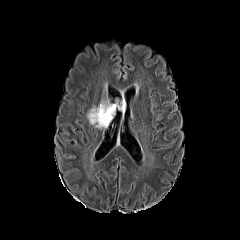
FLAIR MRI.
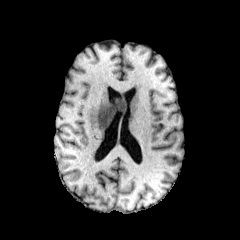
Same slice, T1-weighted MR image.
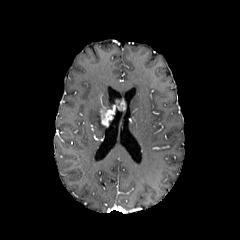
Same slice, post-contrast T1-weighted MRI.
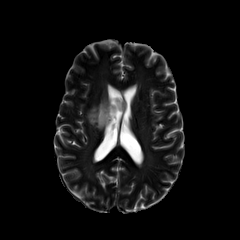
T2-weighted magnetic resonance.
Image size 240x240 | Axial view
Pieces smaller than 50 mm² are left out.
Segmented structures:
• peritumoral edema: [87, 98, 112, 128]
• enhancing tumor: [100, 101, 125, 126]